FLAIR magnetic resonance.
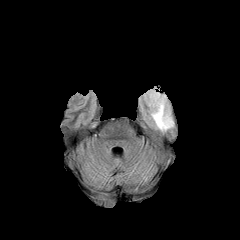
T1-weighted magnetic resonance.
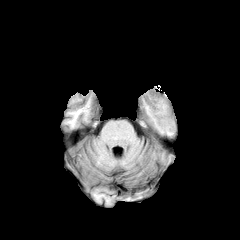
Post-contrast T1-weighted MR image.
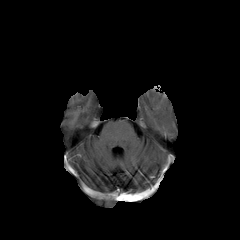
T2-weighted magnetic resonance.
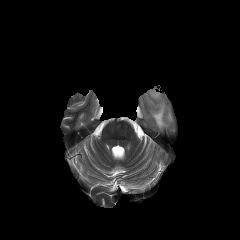
Axial view. Brain.
The peritumoral edema is located at region(144, 90, 173, 130).